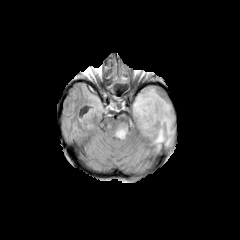
FLAIR MR image.
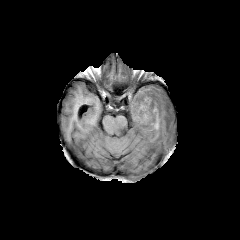
T1-weighted MR image.
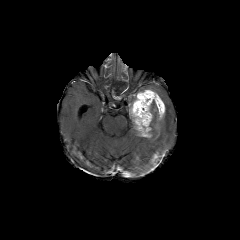
Same slice, post-contrast T1-weighted magnetic resonance.
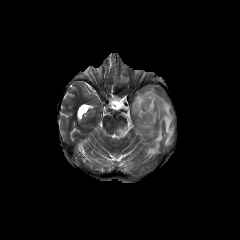
T2-weighted MR image.
Brain
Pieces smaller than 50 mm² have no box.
The enhancing tumor is located at bbox=[129, 89, 165, 137]. The 2 largest peritumoral edema regions are bounded by bbox=[149, 97, 173, 150]; bbox=[117, 123, 126, 137].